Slice 64/155. Axial plane.
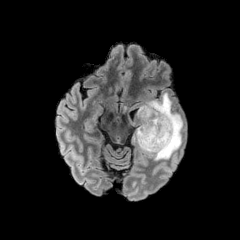
FLAIR magnetic resonance.
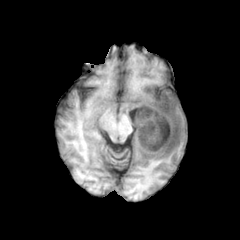
Same slice, T1-weighted MR image.
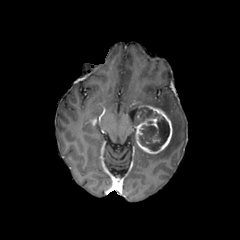
Post-contrast T1-weighted magnetic resonance.
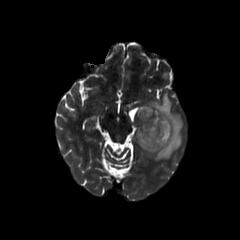
Same slice, T2-weighted MR.
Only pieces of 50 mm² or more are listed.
peritumoral edema: box=[144, 93, 183, 160] | necrotic tumor core: box=[139, 117, 169, 150]; box=[143, 108, 152, 119] | enhancing tumor: box=[135, 105, 172, 153]